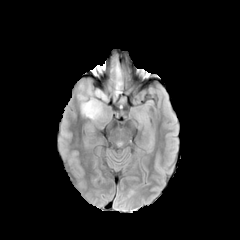
FLAIR MR image.
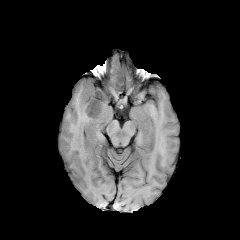
T1-weighted MR.
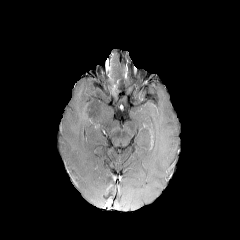
Post-contrast T1-weighted MR of the same slice.
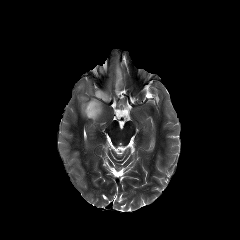
T2-weighted MRI.
Axial slice; Image size 240x240
2 peritumoral edema regions are bounded by 77, 78, 108, 121; 113, 62, 122, 96.